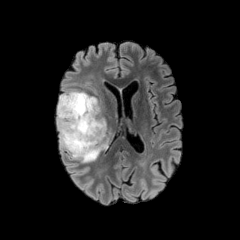
FLAIR magnetic resonance.
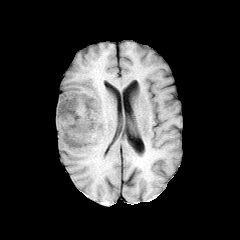
T1-weighted MRI.
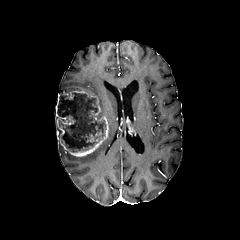
Post-contrast T1-weighted MRI of the same slice.
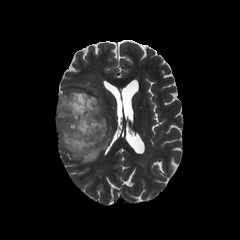
T2-weighted MRI.
Axial plane; 240x240 px
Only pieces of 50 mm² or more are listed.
Annotated regions:
- necrotic tumor core: [58, 93, 105, 152]
- peritumoral edema: [68, 131, 110, 162]
- enhancing tumor: [56, 90, 108, 156]